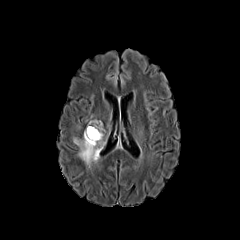
FLAIR MR.
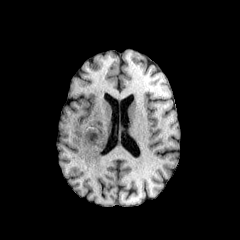
T1-weighted MR of the same slice.
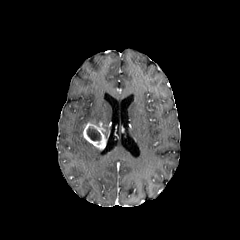
Post-contrast T1-weighted MR of the same slice.
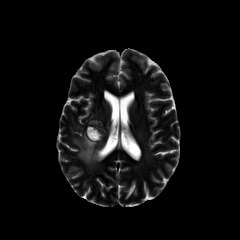
T2-weighted MRI of the same slice.
Axial plane, Brain
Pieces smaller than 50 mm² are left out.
The enhancing tumor appears at (left=83, top=121, right=107, bottom=149). The largest peritumoral edema region is at (left=73, top=137, right=101, bottom=167). The necrotic tumor core is bounded by (left=87, top=126, right=100, bottom=140).